Head
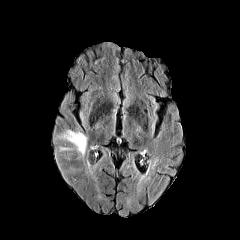
FLAIR MR image.
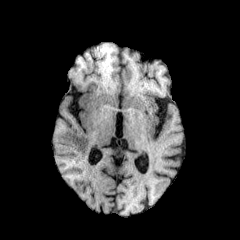
T1-weighted magnetic resonance.
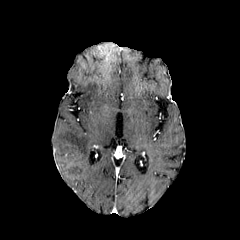
Same slice, post-contrast T1-weighted magnetic resonance.
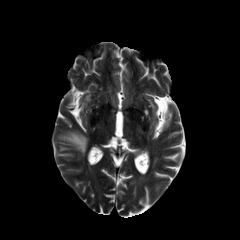
T2-weighted MR image.
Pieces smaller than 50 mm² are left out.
The largest peritumoral edema region is located at (58,130,87,156).